FLAIR MR image.
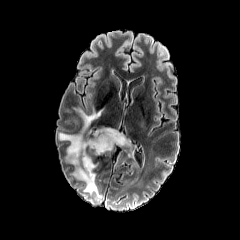
T1-weighted MR.
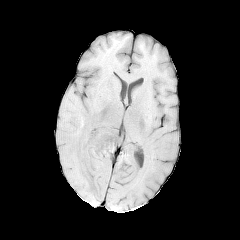
Post-contrast T1-weighted magnetic resonance.
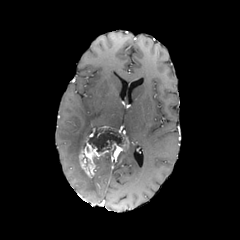
T2-weighted magnetic resonance.
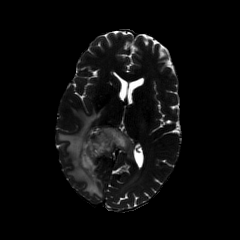
Head; Axial plane
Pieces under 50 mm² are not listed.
The largest enhancing tumor region appears at {"x1": 79, "y1": 126, "x2": 130, "y2": 177}. The largest peritumoral edema region is located at {"x1": 59, "y1": 106, "x2": 103, "y2": 197}. The largest necrotic tumor core region is bounded by {"x1": 88, "y1": 129, "x2": 121, "y2": 152}.